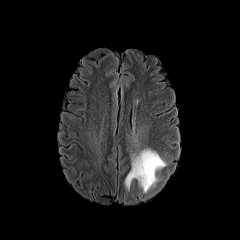
FLAIR MR.
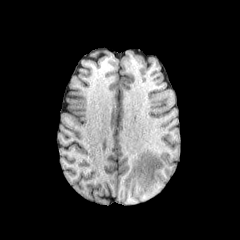
T1-weighted magnetic resonance.
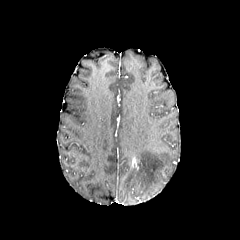
Post-contrast T1-weighted MR.
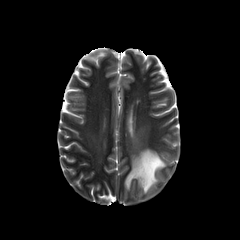
T2-weighted MR image.
Axial view, Head
peritumoral edema: bounding box <bbox>124, 148, 166, 193</bbox>
enhancing tumor: bounding box <bbox>131, 157, 139, 169</bbox>